FLAIR magnetic resonance.
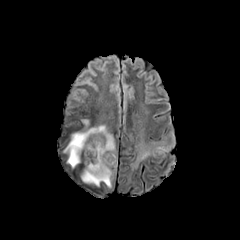
T1-weighted MR image.
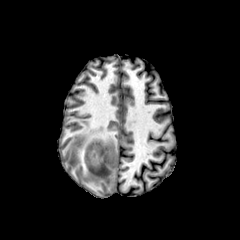
Post-contrast T1-weighted MR image.
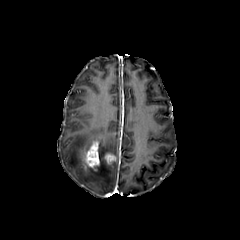
T2-weighted MR image.
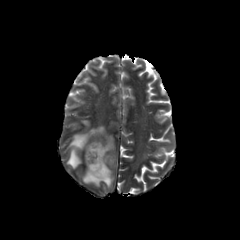
Axial slice. Image size 240x240.
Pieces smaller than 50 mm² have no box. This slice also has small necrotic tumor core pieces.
enhancing_tumor:
  - (85,140,99,168)
  - (104,153,116,164)
peritumoral_edema:
  - (64,125,117,188)